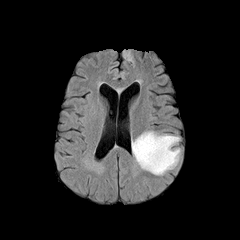
FLAIR MRI.
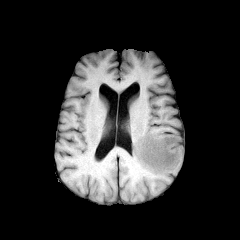
Same slice, T1-weighted magnetic resonance.
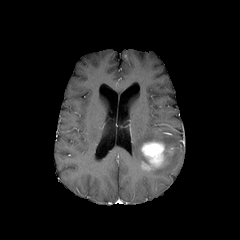
Post-contrast T1-weighted MRI.
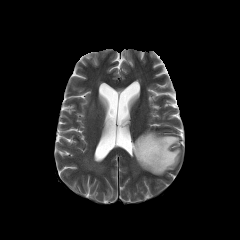
Same slice, T2-weighted MR.
Axial plane. 240x240. Brain.
peritumoral edema = 132:131:179:167, 148:148:180:175, 123:50:131:61
enhancing tumor = 140:140:172:170